Head, Image covers 240 mm x 240 mm, Slice 103/155, Axial view
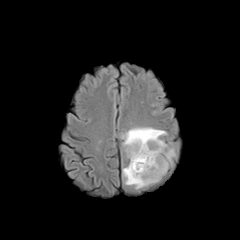
FLAIR magnetic resonance.
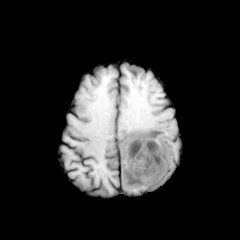
T1-weighted magnetic resonance of the same slice.
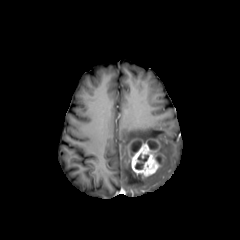
Post-contrast T1-weighted magnetic resonance.
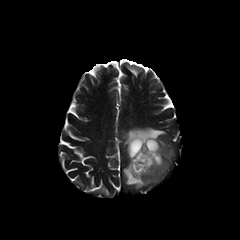
Same slice, T2-weighted MR.
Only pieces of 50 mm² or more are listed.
peritumoral edema: 122 127 166 152, 122 140 175 189
necrotic tumor core: 130 141 141 151, 135 155 148 169, 147 140 158 149
enhancing tumor: 127 137 166 176